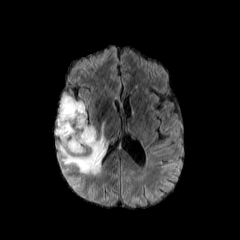
FLAIR MR.
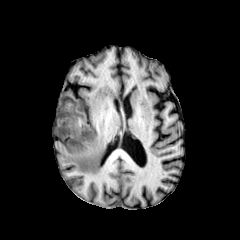
T1-weighted MRI.
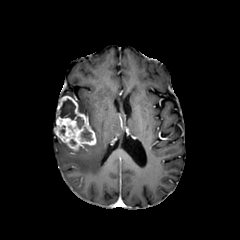
Post-contrast T1-weighted magnetic resonance.
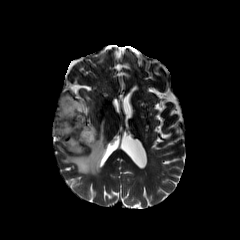
T2-weighted MR image.
Head | Axial slice
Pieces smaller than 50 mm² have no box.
enhancing tumor: bounding box 55,96,96,151
peritumoral edema: bounding box 57,124,107,175; 76,101,86,116
necrotic tumor core: bounding box 81,127,92,140; 59,99,76,119; 76,116,83,128